FLAIR MR.
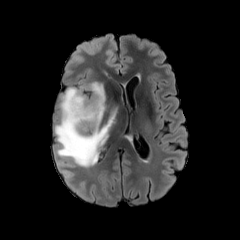
T1-weighted MRI.
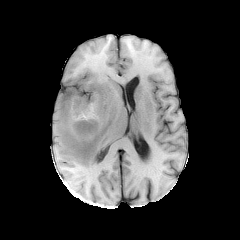
Post-contrast T1-weighted MR.
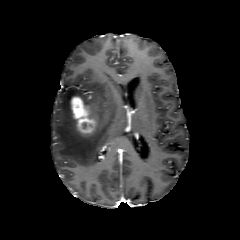
T2-weighted MRI.
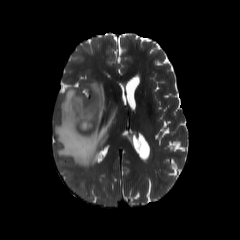
Axial slice. Head.
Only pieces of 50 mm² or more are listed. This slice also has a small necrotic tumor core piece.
The largest enhancing tumor region is bounded by region(70, 95, 97, 133). The peritumoral edema is located at region(54, 82, 116, 168).